FLAIR MRI.
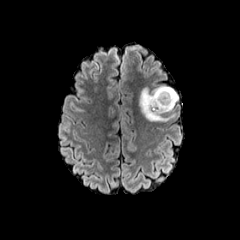
T1-weighted MR image.
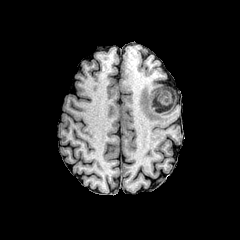
Post-contrast T1-weighted magnetic resonance.
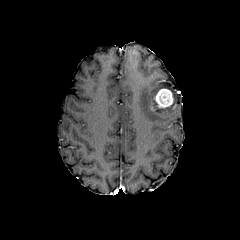
T2-weighted MR.
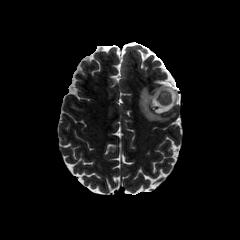
Axial slice. Brain.
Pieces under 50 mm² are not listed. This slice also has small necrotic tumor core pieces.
{
  "enhancing_tumor": [
    "region(149, 88, 176, 115)"
  ],
  "peritumoral_edema": [
    "region(138, 84, 178, 123)"
  ]
}